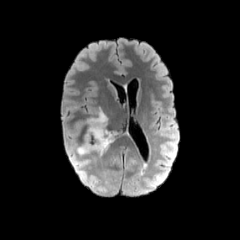
FLAIR MRI.
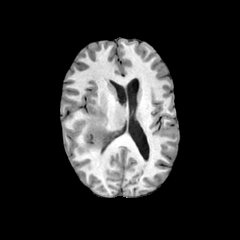
T1-weighted MRI.
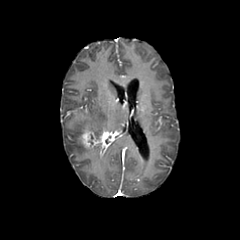
Post-contrast T1-weighted magnetic resonance of the same slice.
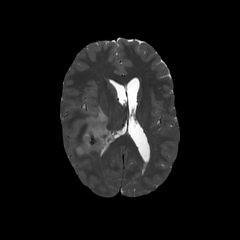
T2-weighted MR.
Head | Axial plane
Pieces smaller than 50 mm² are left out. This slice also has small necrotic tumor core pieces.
{
  "enhancing_tumor": [
    "<box>82,130,114,150</box>"
  ],
  "peritumoral_edema": [
    "<box>76,144,103,154</box>",
    "<box>87,109,107,136</box>"
  ]
}